240x240.
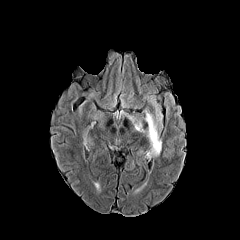
FLAIR MR.
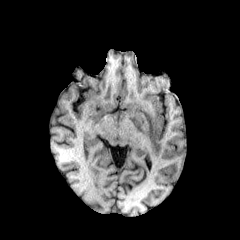
T1-weighted magnetic resonance of the same slice.
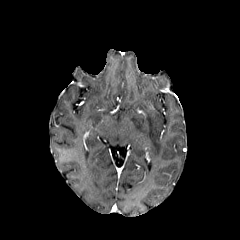
Post-contrast T1-weighted magnetic resonance.
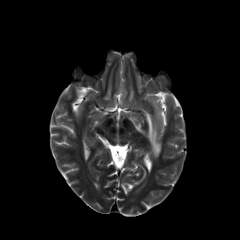
T2-weighted MR image of the same slice.
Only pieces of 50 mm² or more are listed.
- peritumoral edema: 134,123,143,132; 146,111,161,156